Axial slice; Head
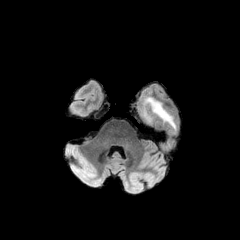
FLAIR MR.
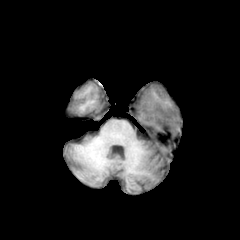
T1-weighted MR of the same slice.
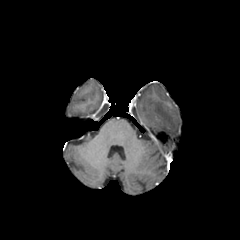
Post-contrast T1-weighted MR image.
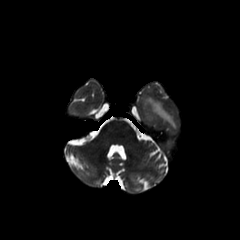
Same slice, T2-weighted magnetic resonance.
The peritumoral edema appears at <bbox>143, 97, 176, 131</bbox>.